Slice 74/155, Head, 240x240 px, Axial plane
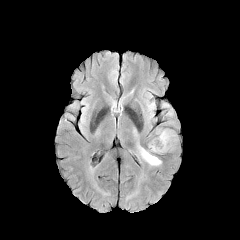
FLAIR MRI.
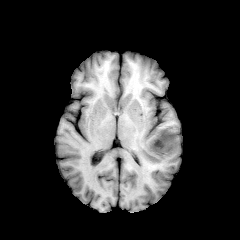
T1-weighted MRI of the same slice.
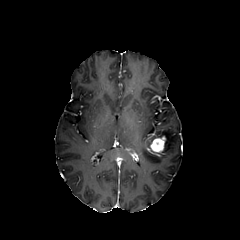
Post-contrast T1-weighted magnetic resonance.
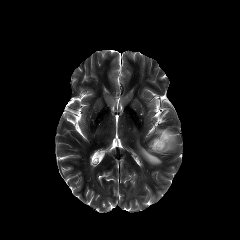
T2-weighted MR.
enhancing tumor: box=[149, 136, 165, 152] | peritumoral edema: box=[138, 144, 161, 165]; box=[157, 130, 175, 151]